FLAIR MR.
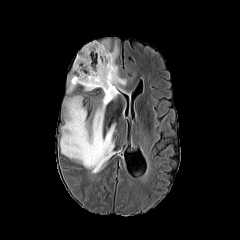
T1-weighted MR image.
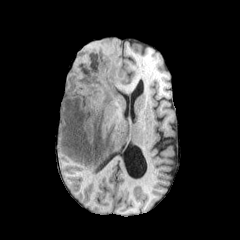
Post-contrast T1-weighted MR image.
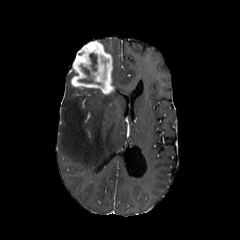
T2-weighted MRI.
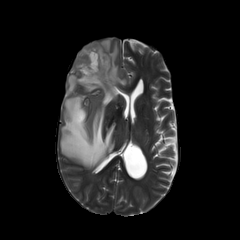
Brain | Axial plane
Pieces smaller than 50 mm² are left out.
The enhancing tumor is bounded by l=70, t=41, r=114, b=94. The 2 largest necrotic tumor core regions are located at l=79, t=78, r=93, b=82; l=89, t=53, r=96, b=70. The 3 largest peritumoral edema regions are bounded by l=101, t=40, r=126, b=90; l=60, t=89, r=119, b=169; l=67, t=75, r=74, b=93.